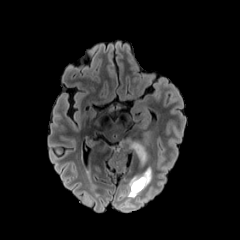
FLAIR magnetic resonance.
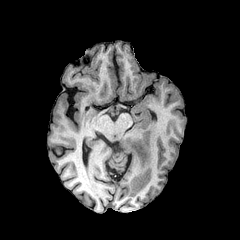
T1-weighted MR.
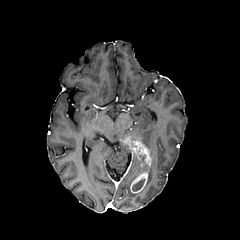
Post-contrast T1-weighted magnetic resonance.
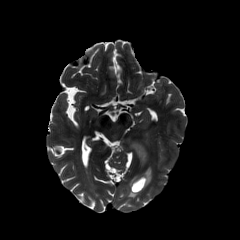
T2-weighted MRI.
240x240.
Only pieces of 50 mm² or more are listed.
Segmented structures:
* necrotic tumor core: box(133, 179, 144, 190)
* peritumoral edema: box(142, 164, 151, 185)
* enhancing tumor: box(122, 137, 151, 166); box(130, 171, 148, 193)